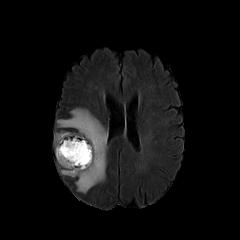
FLAIR MR image.
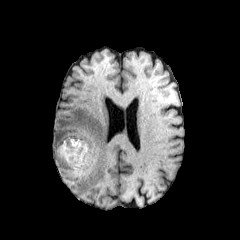
T1-weighted magnetic resonance.
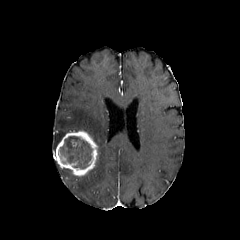
Post-contrast T1-weighted magnetic resonance.
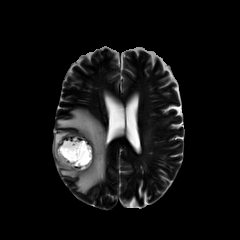
T2-weighted MR image of the same slice.
Axial plane
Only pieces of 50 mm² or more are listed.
<segmentation>
  <peritumoral_edema>[54, 131, 67, 151], [57, 108, 107, 193], [60, 168, 75, 177]</peritumoral_edema>
  <necrotic_tumor_core>[60, 136, 91, 168]</necrotic_tumor_core>
  <enhancing_tumor>[55, 130, 98, 176]</enhancing_tumor>
</segmentation>